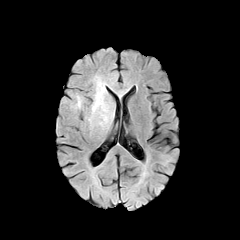
FLAIR MR.
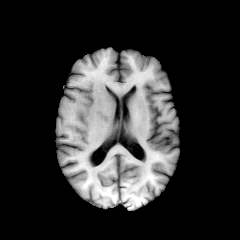
T1-weighted magnetic resonance.
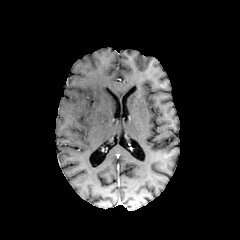
Same slice, post-contrast T1-weighted MR image.
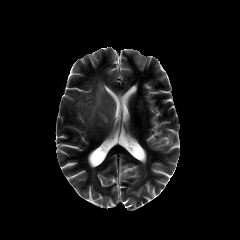
T2-weighted MR of the same slice.
Axial plane
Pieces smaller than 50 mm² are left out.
peritumoral edema — (88,77,114,126)